Head, Image width 240 mm, Axial plane, Image size 240x240, Slice index 69
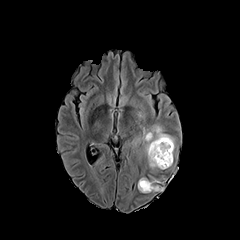
FLAIR MR image.
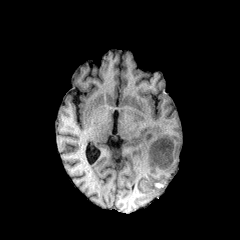
T1-weighted MR image.
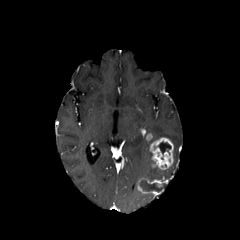
Post-contrast T1-weighted MR.
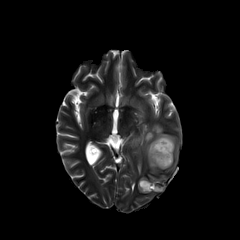
T2-weighted MR of the same slice.
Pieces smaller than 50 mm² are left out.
Annotated regions:
* necrotic tumor core: region(158, 142, 171, 153); region(140, 180, 160, 191)
* enhancing tumor: region(137, 177, 160, 194); region(149, 137, 173, 169)
* peritumoral edema: region(152, 165, 172, 172); region(142, 125, 175, 167)